Head, 240x240 px, Slice 104 of 155, Axial slice
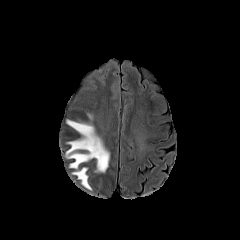
FLAIR magnetic resonance.
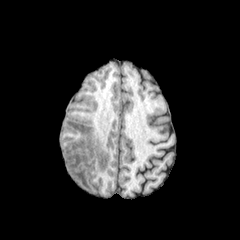
T1-weighted MRI.
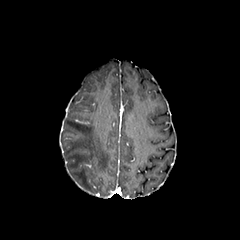
Same slice, post-contrast T1-weighted MR.
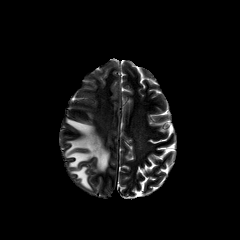
T2-weighted MR of the same slice.
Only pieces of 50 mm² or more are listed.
peritumoral edema at <bbox>65, 119, 109, 190</bbox>